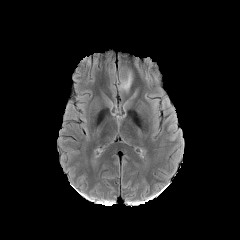
FLAIR magnetic resonance.
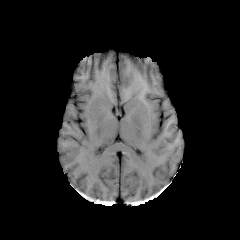
T1-weighted magnetic resonance of the same slice.
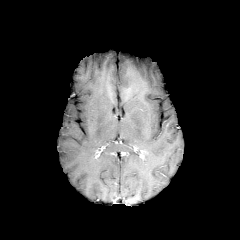
Post-contrast T1-weighted magnetic resonance.
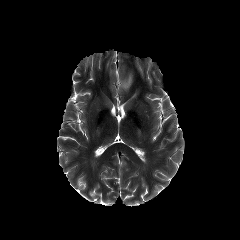
Same slice, T2-weighted MR.
Annotated regions:
• peritumoral edema: (left=117, top=72, right=132, bottom=90)